FLAIR MR image.
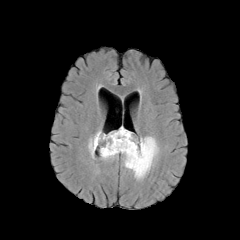
T1-weighted magnetic resonance.
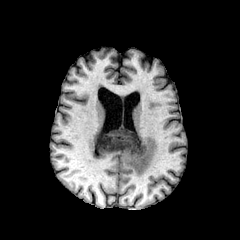
Post-contrast T1-weighted MR.
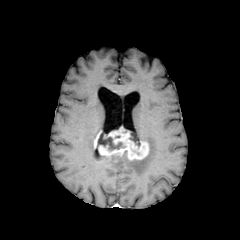
T2-weighted MR image.
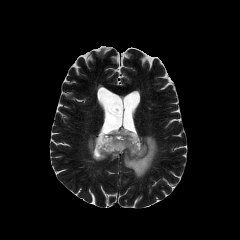
Axial slice; 240x240
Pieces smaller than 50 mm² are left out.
necrotic tumor core: box(130, 133, 140, 146); box(97, 134, 122, 150) | peritumoral edema: box(123, 136, 158, 179); box(88, 134, 96, 157) | enhancing tumor: box(94, 127, 149, 160)